Slice index 44. Head. Axial slice.
FLAIR MR image.
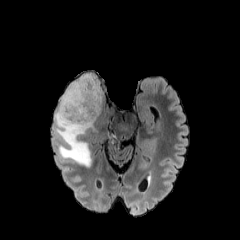
T1-weighted MRI.
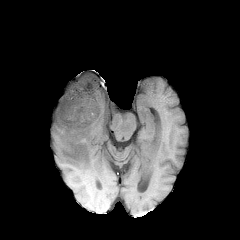
Post-contrast T1-weighted magnetic resonance.
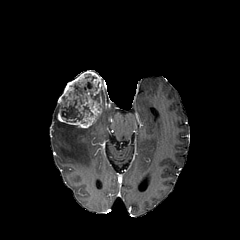
T2-weighted MR image.
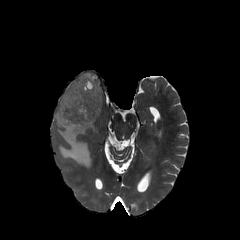
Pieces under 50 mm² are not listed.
<segmentation>
  <necrotic_tumor_core>l=61, t=76, r=99, b=122</necrotic_tumor_core>
  <enhancing_tumor>l=57, t=71, r=102, b=128</enhancing_tumor>
  <peritumoral_edema>l=54, t=103, r=97, b=167</peritumoral_edema>
</segmentation>